FLAIR MR image.
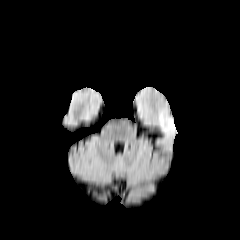
T1-weighted magnetic resonance.
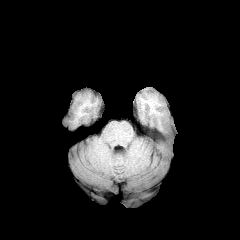
Post-contrast T1-weighted MRI.
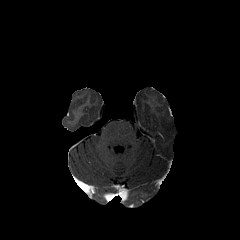
T2-weighted magnetic resonance.
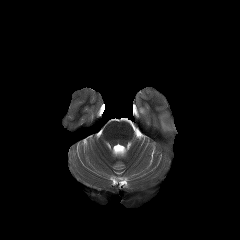
Segmented structures:
* peritumoral edema: (159, 113, 175, 132)